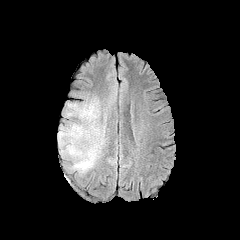
FLAIR magnetic resonance.
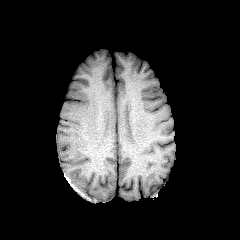
T1-weighted MRI of the same slice.
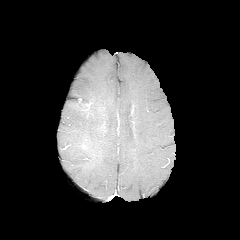
Post-contrast T1-weighted magnetic resonance.
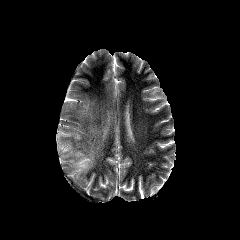
T2-weighted MR of the same slice.
Axial slice
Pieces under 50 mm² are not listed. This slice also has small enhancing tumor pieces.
The peritumoral edema is located at (58, 98, 102, 174).